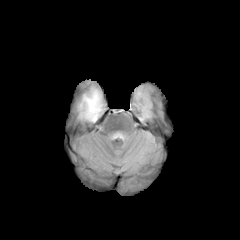
FLAIR MR image.
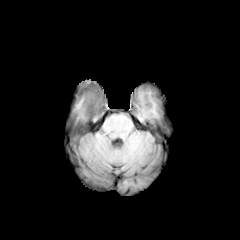
T1-weighted MR.
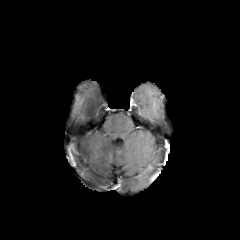
Post-contrast T1-weighted MR.
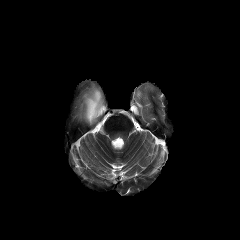
T2-weighted MRI.
peritumoral_edema:
  - (left=79, top=87, right=104, bottom=122)
necrotic_tumor_core:
  - (left=85, top=93, right=102, bottom=122)